Slice 92 of 155, Axial slice, 240x240 px
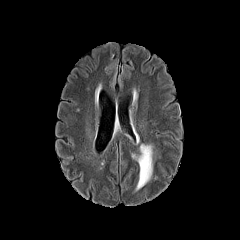
FLAIR MRI.
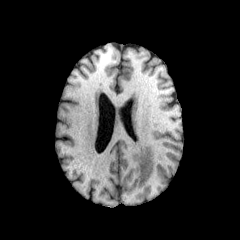
Same slice, T1-weighted MR image.
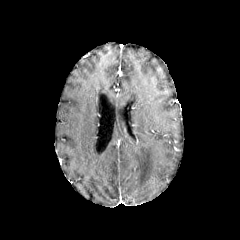
Post-contrast T1-weighted MRI.
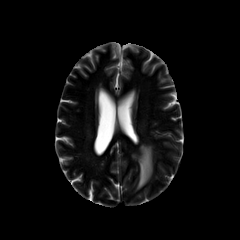
T2-weighted MR of the same slice.
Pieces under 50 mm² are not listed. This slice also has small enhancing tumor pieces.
{
  "peritumoral_edema": [
    "rect(130, 144, 159, 190)"
  ]
}